Head; Slice 93/155
FLAIR magnetic resonance.
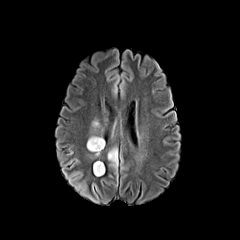
T1-weighted MR.
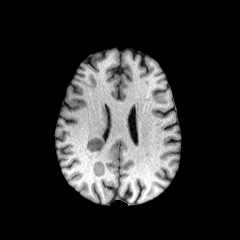
Post-contrast T1-weighted MR.
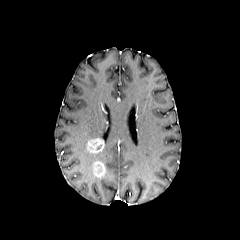
T2-weighted MRI.
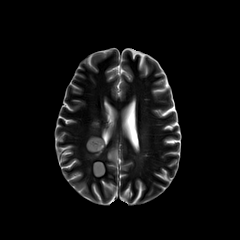
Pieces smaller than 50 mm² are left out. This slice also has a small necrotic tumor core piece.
enhancing tumor: 87,138,104,152; 94,161,104,176 | peritumoral edema: 108,149,117,166